FLAIR MRI.
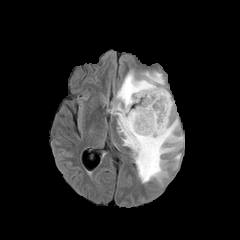
T1-weighted magnetic resonance.
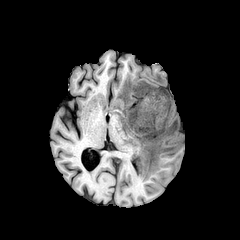
Post-contrast T1-weighted MRI.
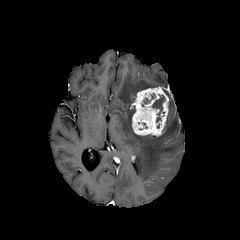
T2-weighted magnetic resonance.
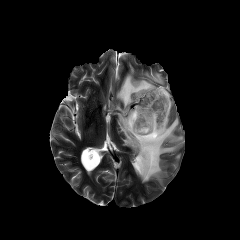
Axial plane, Brain
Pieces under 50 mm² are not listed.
<segmentation>
  <enhancing_tumor>132:86:169:136</enhancing_tumor>
  <necrotic_tumor_core>152:95:164:121</necrotic_tumor_core>
  <peritumoral_edema>110:71:184:182</peritumoral_edema>
</segmentation>